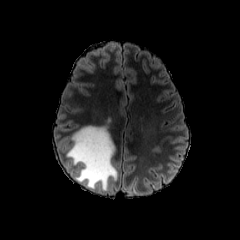
FLAIR magnetic resonance.
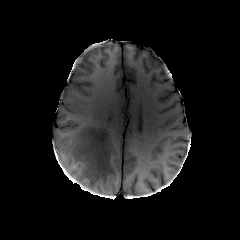
Same slice, T1-weighted MR.
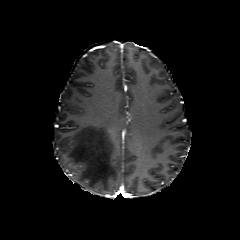
Post-contrast T1-weighted magnetic resonance.
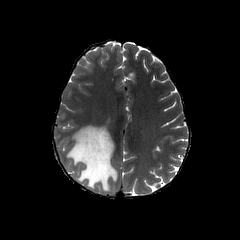
T2-weighted MRI.
Brain | Axial slice
peritumoral_edema:
  - 67 125 117 190